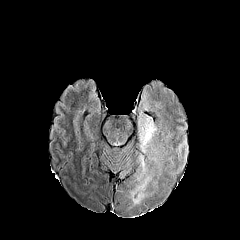
FLAIR MRI.
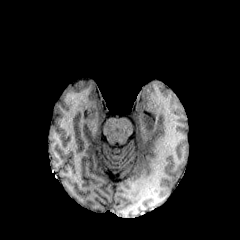
T1-weighted magnetic resonance of the same slice.
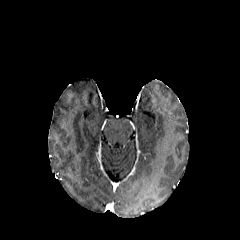
Post-contrast T1-weighted MR.
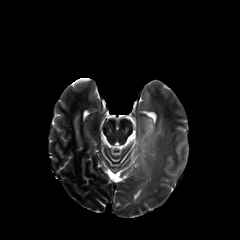
T2-weighted MRI.
Axial slice | Brain
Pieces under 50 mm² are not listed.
peritumoral edema: (x1=140, y1=118, x2=155, y2=151)